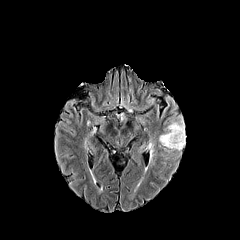
FLAIR MRI.
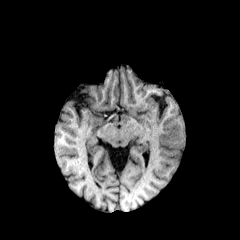
Same slice, T1-weighted magnetic resonance.
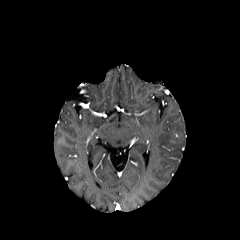
Post-contrast T1-weighted MR of the same slice.
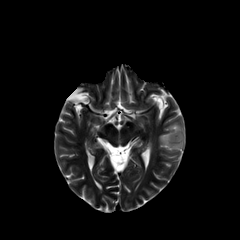
T2-weighted MR image.
Brain
Segmented structures:
- enhancing tumor: <bbox>169, 131, 179, 142</bbox>
- peritumoral edema: <bbox>159, 118, 185, 150</bbox>